240x240, Slice 74/155
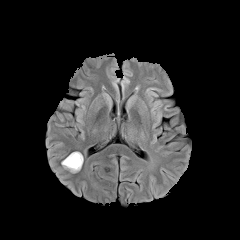
FLAIR MRI.
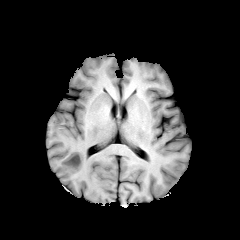
T1-weighted MR image.
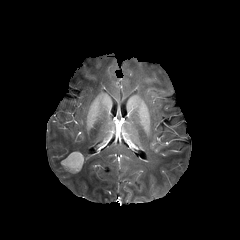
Post-contrast T1-weighted MR image.
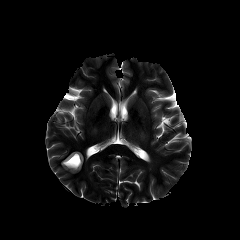
T2-weighted MR image.
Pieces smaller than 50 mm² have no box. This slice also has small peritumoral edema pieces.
The enhancing tumor is at rect(62, 152, 83, 171).